FLAIR magnetic resonance.
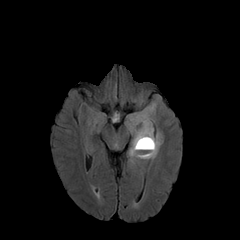
T1-weighted MR.
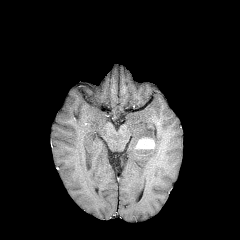
Post-contrast T1-weighted MRI.
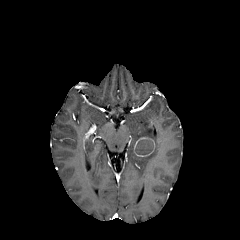
T2-weighted MR image.
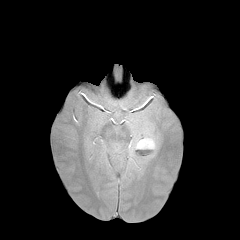
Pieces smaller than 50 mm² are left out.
The peritumoral edema is located at [126, 102, 162, 162]. The necrotic tumor core appears at [135, 139, 153, 154]. The largest enhancing tumor region is at [134, 137, 153, 153].